Image size 240x240; Image covers 240 mm x 240 mm; Brain; Axial slice
FLAIR magnetic resonance.
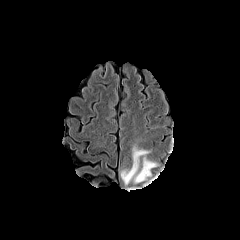
T1-weighted magnetic resonance.
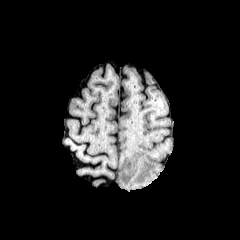
Post-contrast T1-weighted MR.
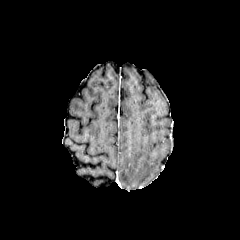
T2-weighted MR image.
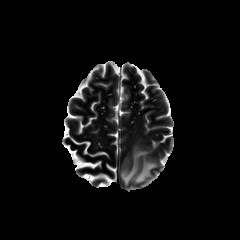
The peritumoral edema is bounded by x1=120 y1=147 x2=157 y2=185.